Slice 85 of 155; Axial plane; Brain; Image width 240 mm; 240x240
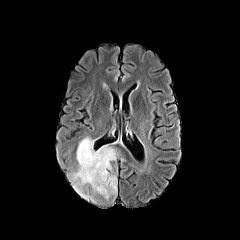
FLAIR MRI.
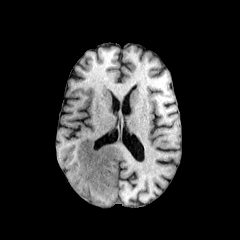
T1-weighted MR of the same slice.
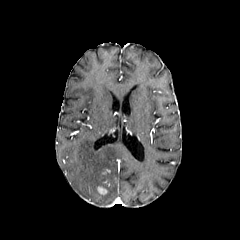
Post-contrast T1-weighted magnetic resonance.
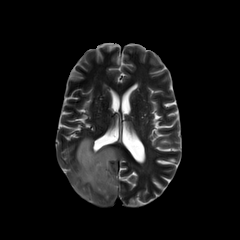
T2-weighted magnetic resonance of the same slice.
The enhancing tumor appears at (left=97, top=186, right=107, bottom=195). The peritumoral edema is located at (left=70, top=137, right=118, bottom=202).